Slice 59 of 155
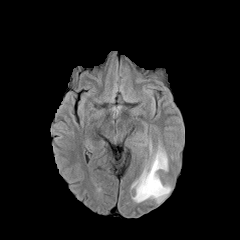
FLAIR magnetic resonance.
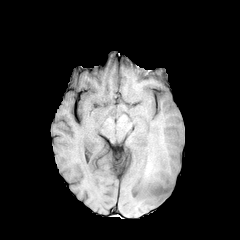
T1-weighted MR of the same slice.
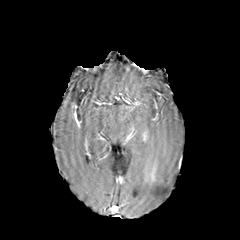
Post-contrast T1-weighted MR.
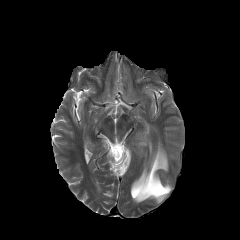
Same slice, T2-weighted MRI.
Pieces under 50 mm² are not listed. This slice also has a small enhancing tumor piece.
The peritumoral edema lies within l=131, t=140, r=170, b=202.